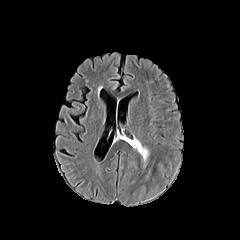
FLAIR MR.
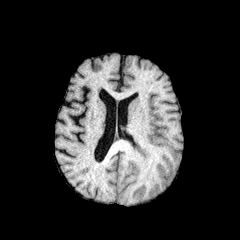
T1-weighted MR.
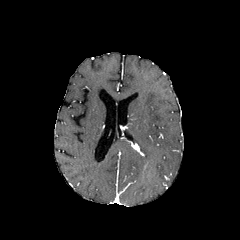
Same slice, post-contrast T1-weighted MRI.
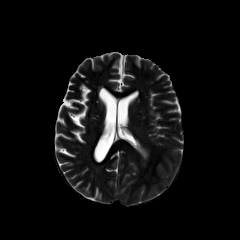
T2-weighted magnetic resonance of the same slice.
Axial slice, Image size 240x240
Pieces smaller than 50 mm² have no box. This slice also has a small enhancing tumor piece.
{"peritumoral_edema": ["[136,140,148,161]"]}